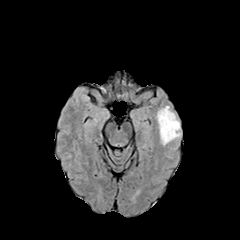
FLAIR MRI.
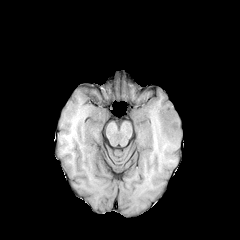
T1-weighted MRI.
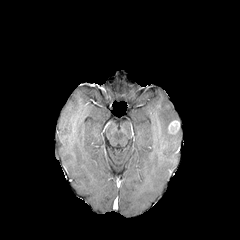
Same slice, post-contrast T1-weighted MR image.
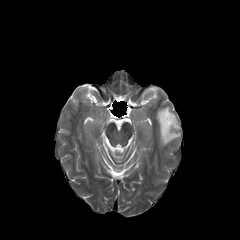
Same slice, T2-weighted MR.
Head.
The enhancing tumor lies within (x1=168, y1=120, x2=179, y2=134). The peritumoral edema appears at (x1=156, y1=106, x2=181, y2=145).